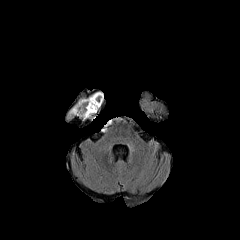
FLAIR magnetic resonance.
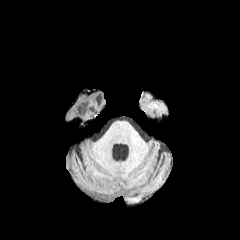
T1-weighted MR image.
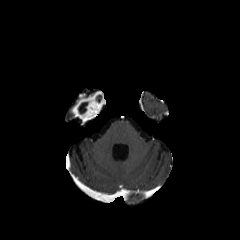
Post-contrast T1-weighted MRI.
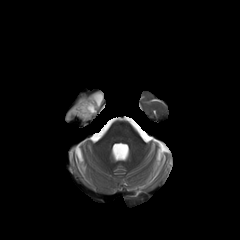
Same slice, T2-weighted MR.
Head.
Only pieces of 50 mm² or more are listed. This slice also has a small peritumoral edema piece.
Annotated regions:
- necrotic tumor core: (left=78, top=102, right=87, bottom=113)
- enhancing tumor: (left=71, top=91, right=104, bottom=122)